240x240, Head, Slice 71/155
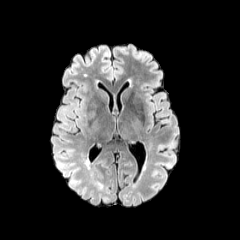
FLAIR MR image.
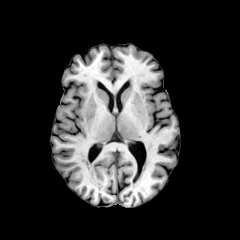
T1-weighted MRI.
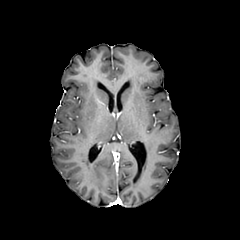
Post-contrast T1-weighted MR image.
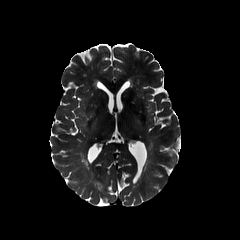
T2-weighted MRI.
Findings:
- peritumoral edema: left=88, top=110, right=95, bottom=118